Brain, Slice 102/155
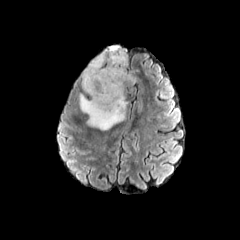
FLAIR MR.
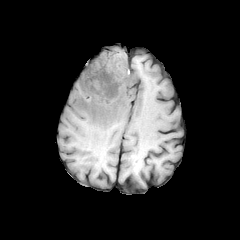
T1-weighted magnetic resonance.
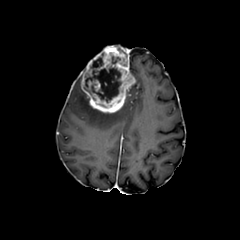
Post-contrast T1-weighted MR image.
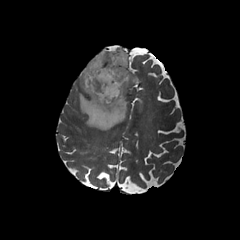
T2-weighted MR image.
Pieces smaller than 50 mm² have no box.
necrotic tumor core: box(84, 57, 121, 102); box(96, 100, 120, 107); box(111, 56, 120, 63) | enhancing tumor: box(81, 45, 135, 113); box(88, 80, 100, 91) | peritumoral edema: box(78, 92, 127, 129)